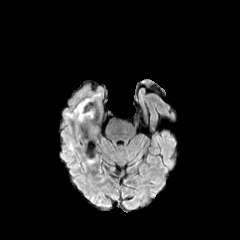
FLAIR MR.
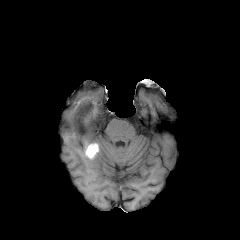
T1-weighted magnetic resonance.
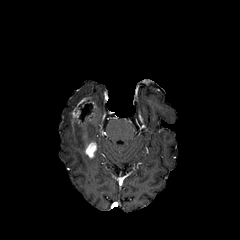
Same slice, post-contrast T1-weighted magnetic resonance.
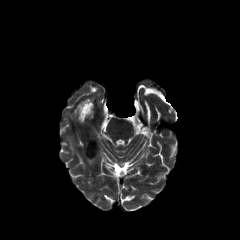
Same slice, T2-weighted MR image.
Head | 240x240 px | Axial slice
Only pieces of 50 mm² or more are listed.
enhancing tumor: bounding box bbox=[70, 97, 102, 139]
peritumoral edema: bounding box bbox=[69, 138, 73, 152]
necrotic tumor core: bounding box bbox=[81, 103, 93, 120]